Slice 93/155 | Head | 240x240 px
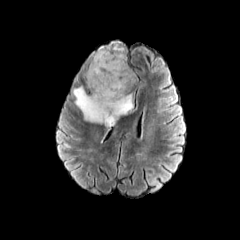
FLAIR MRI.
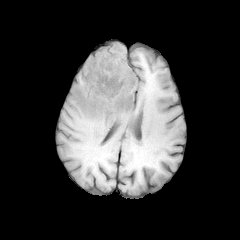
Same slice, T1-weighted magnetic resonance.
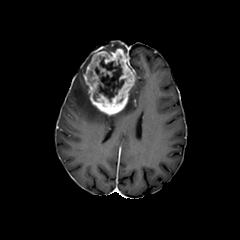
Post-contrast T1-weighted MR.
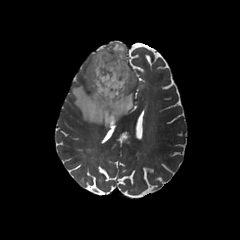
T2-weighted MR image.
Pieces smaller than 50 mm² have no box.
peritumoral edema: <box>102,41,126,53</box>, <box>72,85,136,143</box> | necrotic tumor core: <box>93,57,129,106</box> | enhancing tumor: <box>83,46,135,115</box>